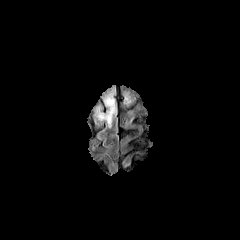
FLAIR MR image.
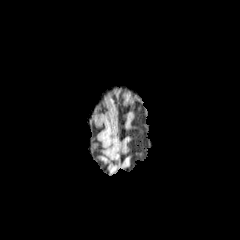
T1-weighted MRI of the same slice.
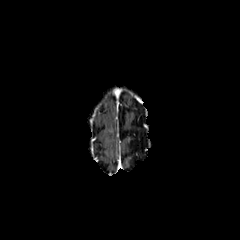
Post-contrast T1-weighted magnetic resonance of the same slice.
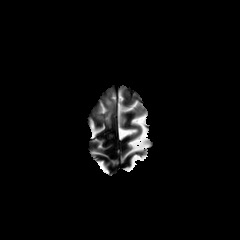
T2-weighted MR image.
Brain
- peritumoral edema: {"x1": 94, "y1": 90, "x2": 114, "y2": 126}